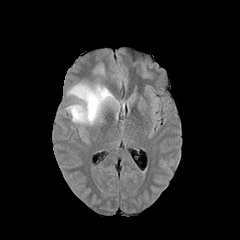
FLAIR MR.
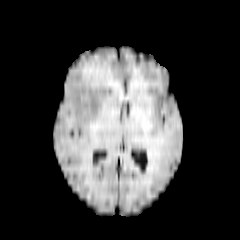
Same slice, T1-weighted MRI.
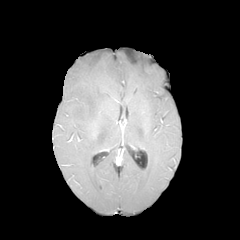
Post-contrast T1-weighted MR.
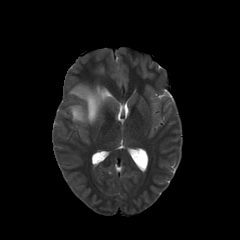
Same slice, T2-weighted MR image.
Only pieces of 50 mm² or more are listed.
The largest peritumoral edema region lies within 66:83:119:124.